FLAIR MR image.
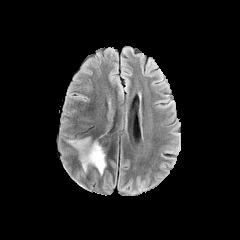
T1-weighted MR image.
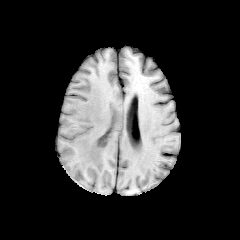
Post-contrast T1-weighted MR.
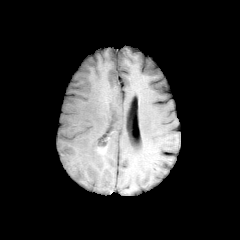
T2-weighted MRI.
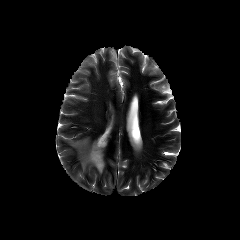
Head.
enhancing_tumor:
  - <bbox>94, 144, 108, 154</bbox>
peritumoral_edema:
  - <bbox>67, 135, 106, 174</bbox>